FLAIR magnetic resonance.
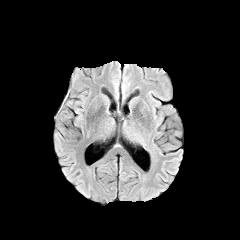
T1-weighted MR.
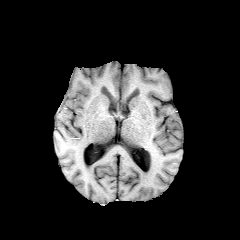
Post-contrast T1-weighted MRI.
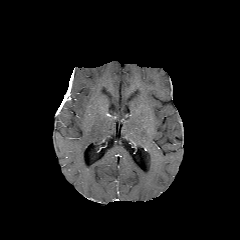
T2-weighted MR image.
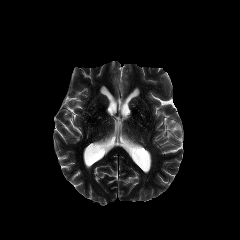
Axial plane. Brain.
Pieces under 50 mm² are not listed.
Annotated regions:
- enhancing tumor: (56,80,70,115)